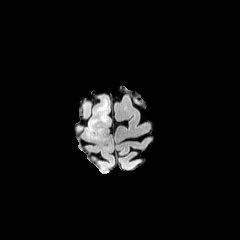
FLAIR magnetic resonance.
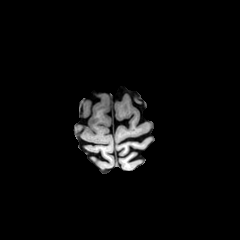
T1-weighted MR.
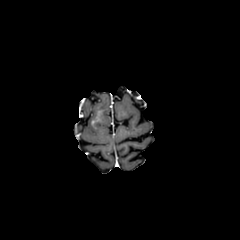
Post-contrast T1-weighted MRI.
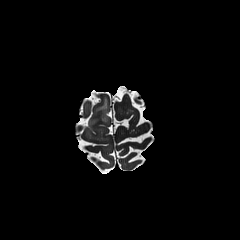
T2-weighted MR image.
Head
Annotated regions:
• peritumoral edema: (left=95, top=98, right=109, bottom=122), (left=87, top=118, right=102, bottom=137)
• enhancing tumor: (left=91, top=110, right=103, bottom=125)